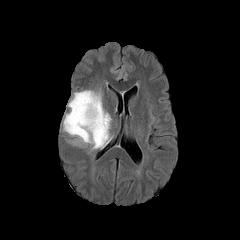
FLAIR MR image.
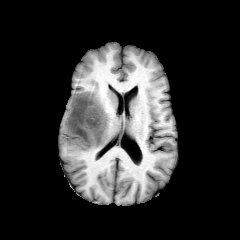
T1-weighted MRI.
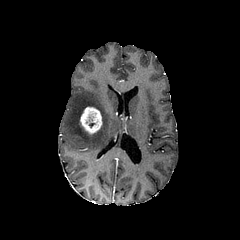
Same slice, post-contrast T1-weighted MR.
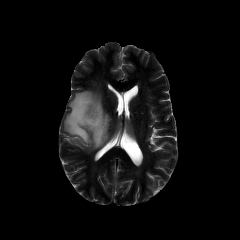
Same slice, T2-weighted MR image.
240x240, Brain
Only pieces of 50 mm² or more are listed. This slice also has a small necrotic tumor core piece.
peritumoral edema: x1=63, y1=90, x2=111, y2=150
enhancing tumor: x1=80, y1=107, x2=102, y2=134